FLAIR MRI.
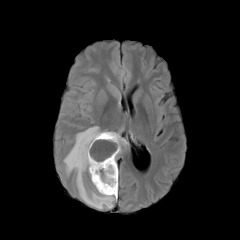
T1-weighted MR.
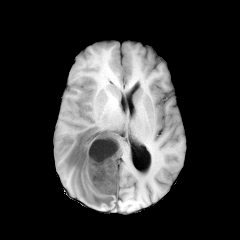
Post-contrast T1-weighted MRI.
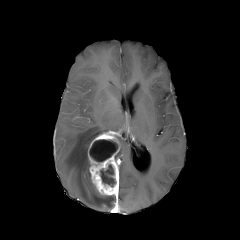
T2-weighted MRI.
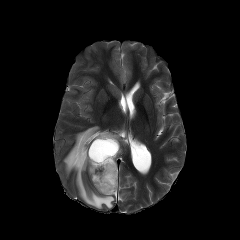
Axial slice, Brain, Image size 240x240
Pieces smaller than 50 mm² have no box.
2 necrotic tumor core regions are located at [x1=89, y1=140, x2=117, y2=161], [x1=100, y1=164, x2=115, y2=186]. The 2 largest peritumoral edema regions are located at [x1=115, y1=135, x2=128, y2=161], [x1=63, y1=126, x2=116, y2=209]. The enhancing tumor is located at [x1=88, y1=131, x2=120, y2=196].